240x240
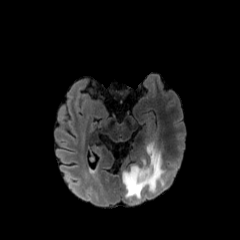
FLAIR MR.
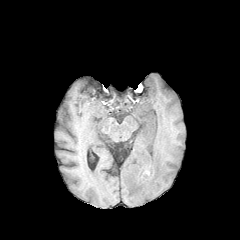
Same slice, T1-weighted MR image.
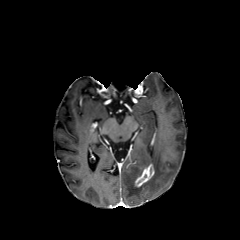
Same slice, post-contrast T1-weighted MR image.
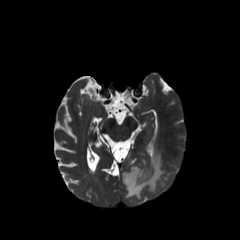
T2-weighted magnetic resonance of the same slice.
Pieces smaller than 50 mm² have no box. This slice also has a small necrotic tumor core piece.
Annotated regions:
- enhancing tumor: left=135, top=163, right=154, bottom=186
- peritumoral edema: left=123, top=145, right=164, bottom=199